FLAIR MR image.
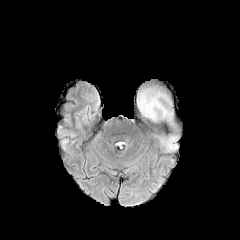
T1-weighted MR image.
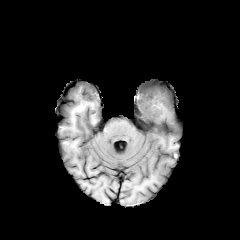
Post-contrast T1-weighted MR.
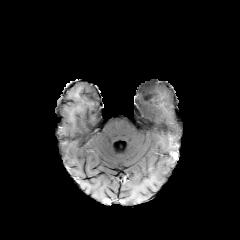
T2-weighted magnetic resonance.
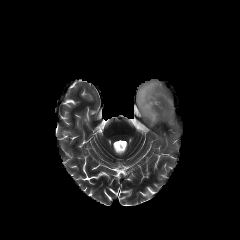
Axial view
Annotated regions:
* peritumoral edema: bbox(134, 80, 181, 143)